FLAIR MRI.
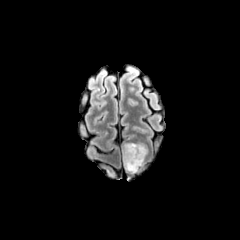
T1-weighted MR.
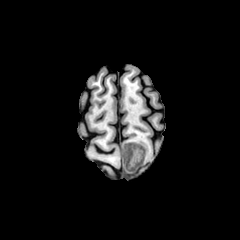
Post-contrast T1-weighted magnetic resonance.
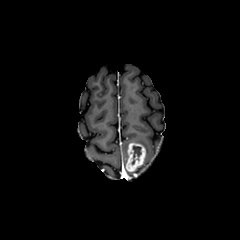
T2-weighted MR.
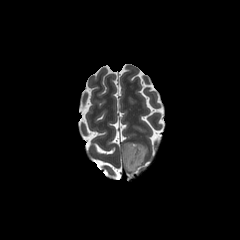
240x240 px; Axial view; Head
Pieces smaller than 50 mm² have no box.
The largest peritumoral edema region is located at <box>122,143,128,166</box>. The enhancing tumor appears at <box>125,142,146,171</box>. The largest necrotic tumor core region is bounded by <box>133,146,141,157</box>.